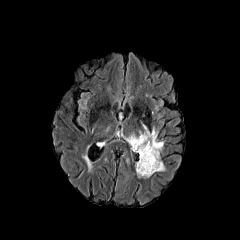
FLAIR MR image.
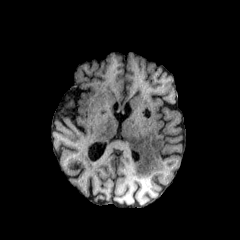
T1-weighted MRI of the same slice.
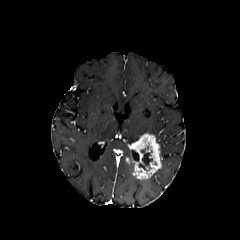
Post-contrast T1-weighted magnetic resonance.
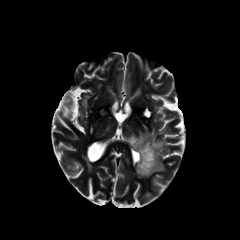
T2-weighted MRI.
Brain; Axial plane
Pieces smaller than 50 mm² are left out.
enhancing tumor = [x1=129, y1=133, x2=162, y2=179]
peritumoral edema = [x1=125, y1=124, x2=163, y2=151]
necrotic tumor core = [x1=139, y1=149, x2=152, y2=169]